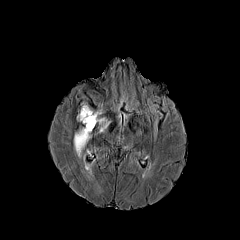
FLAIR MR.
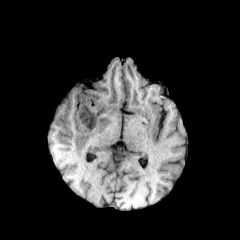
Same slice, T1-weighted MR image.
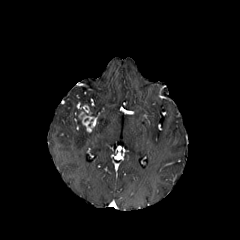
Same slice, post-contrast T1-weighted MR image.
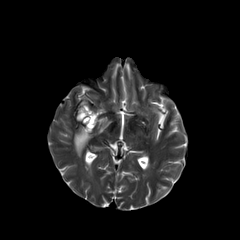
T2-weighted MR image.
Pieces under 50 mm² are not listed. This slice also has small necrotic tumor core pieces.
The largest peritumoral edema region is at (x1=74, y1=127, x2=90, y2=157). The enhancing tumor is at (x1=78, y1=105, x2=97, y2=132).